FLAIR MR image.
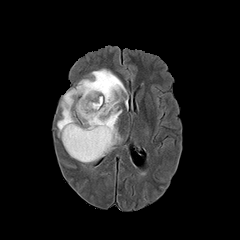
T1-weighted magnetic resonance.
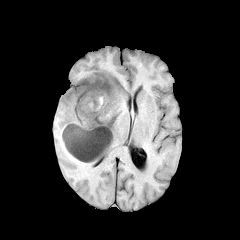
Post-contrast T1-weighted magnetic resonance.
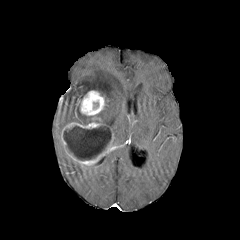
T2-weighted MR image.
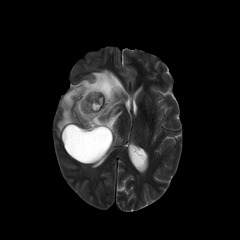
Axial slice
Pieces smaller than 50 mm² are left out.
Findings:
* peritumoral edema: {"x1": 57, "y1": 69, "x2": 127, "y2": 148}
* necrotic tumor core: {"x1": 65, "y1": 125, "x2": 111, "y2": 159}
* enhancing tumor: {"x1": 62, "y1": 90, "x2": 113, "y2": 164}